FLAIR MRI.
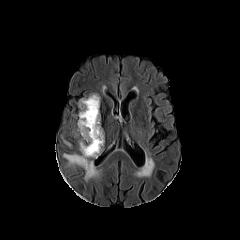
T1-weighted magnetic resonance.
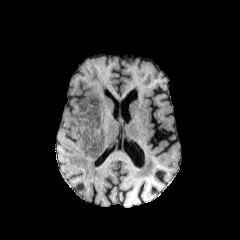
Post-contrast T1-weighted MR image.
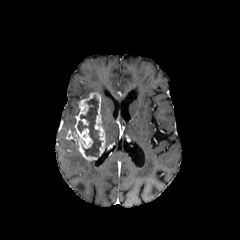
T2-weighted magnetic resonance.
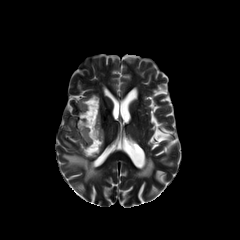
Brain. Axial view.
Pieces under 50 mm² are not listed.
2 enhancing tumor regions are located at [x1=74, y1=128, x2=96, y2=161], [x1=75, y1=92, x2=104, y2=154]. The largest peritumoral edema region lies within [x1=63, y1=153, x2=99, y2=181]. The largest necrotic tumor core region lies within [x1=77, y1=96, x2=102, y2=157].